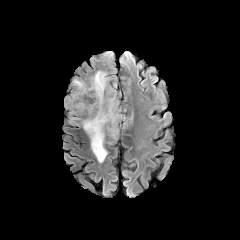
FLAIR MR image.
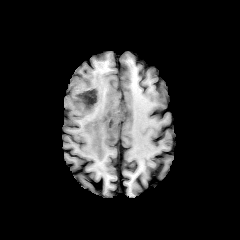
Same slice, T1-weighted MR.
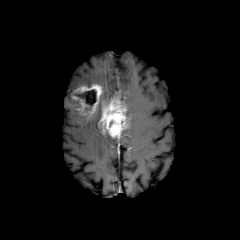
Post-contrast T1-weighted MR.
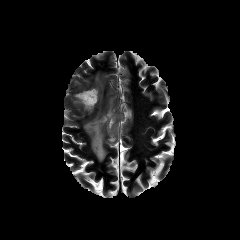
Same slice, T2-weighted MR image.
Head.
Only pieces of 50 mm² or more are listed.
{"enhancing_tumor": ["[x1=72, y1=84, x2=102, y2=115]", "[x1=98, y1=95, x2=129, y2=138]"], "necrotic_tumor_core": ["[x1=74, y1=90, x2=96, y2=105]"], "peritumoral_edema": ["[x1=73, y1=79, x2=85, y2=87]", "[x1=93, y1=71, x2=105, y2=93]", "[x1=83, y1=108, x2=107, y2=162]"]}